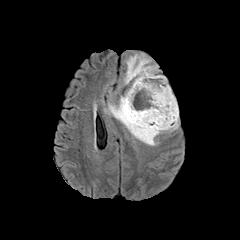
FLAIR magnetic resonance.
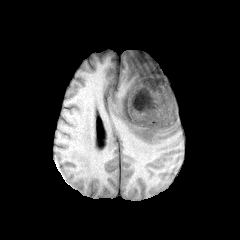
T1-weighted MR.
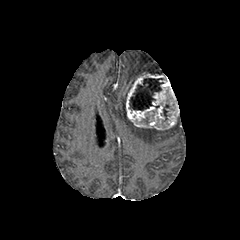
Post-contrast T1-weighted MRI.
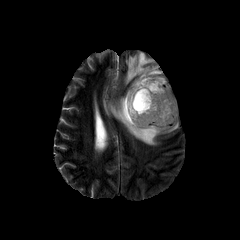
T2-weighted MRI.
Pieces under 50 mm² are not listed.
The 2 largest necrotic tumor core regions are bounded by left=163, top=104, right=169, bottom=121; left=129, top=78, right=163, bottom=110. The enhancing tumor appears at left=125, top=72, right=178, bottom=130. 2 peritumoral edema regions are located at left=124, top=54, right=158, bottom=84; left=105, top=90, right=178, bottom=145.